Head
FLAIR MR.
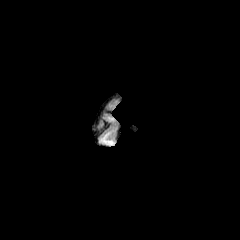
T1-weighted MRI.
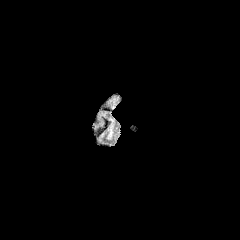
Post-contrast T1-weighted MR.
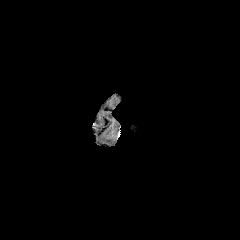
T2-weighted MRI.
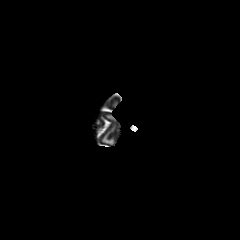
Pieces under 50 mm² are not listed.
peritumoral edema: (101, 129, 114, 145)